FLAIR MR.
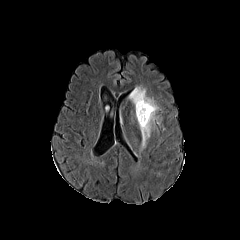
T1-weighted MRI.
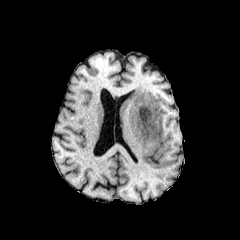
Post-contrast T1-weighted MRI.
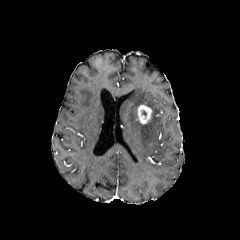
T2-weighted MRI.
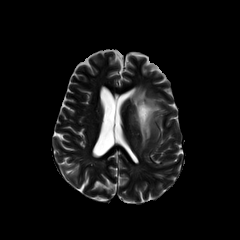
Brain
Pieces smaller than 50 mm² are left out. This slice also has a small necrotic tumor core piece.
enhancing tumor: bounding box 137, 105, 151, 124
peritumoral edema: bounding box 129, 86, 159, 148